Image width 240 mm. Image size 240x240.
FLAIR MRI.
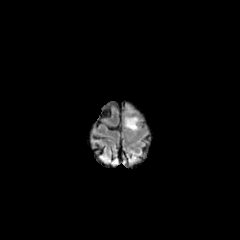
T1-weighted MRI.
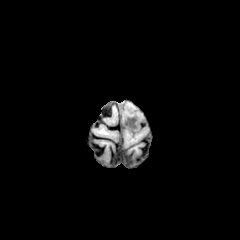
Post-contrast T1-weighted MR.
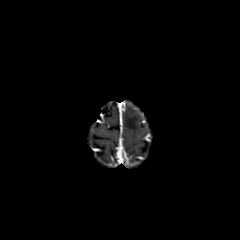
T2-weighted MRI.
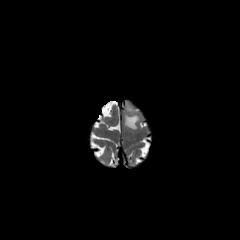
{"peritumoral_edema": ["[x1=124, y1=106, x2=140, y2=130]"]}